FLAIR magnetic resonance.
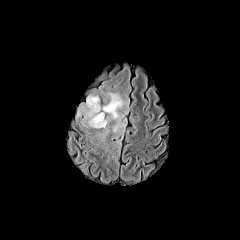
T1-weighted magnetic resonance.
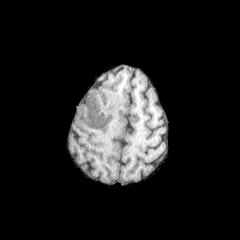
Post-contrast T1-weighted MR image.
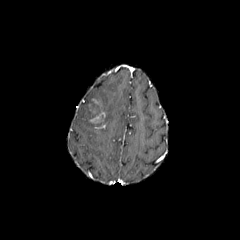
T2-weighted MR.
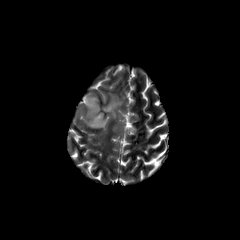
Head; Image size 240x240
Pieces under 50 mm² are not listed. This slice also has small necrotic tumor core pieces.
Annotated regions:
• enhancing tumor: left=89, top=104, right=96, bottom=114; left=89, top=111, right=106, bottom=128
• peritumoral edema: left=77, top=92, right=127, bottom=135